FLAIR MRI.
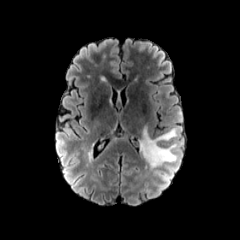
T1-weighted MRI.
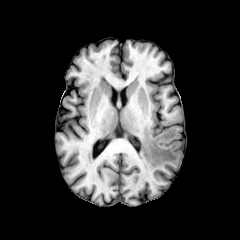
Post-contrast T1-weighted MR.
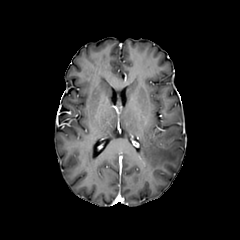
T2-weighted magnetic resonance.
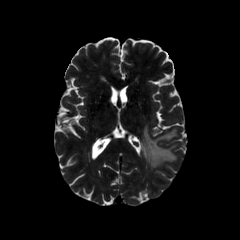
<segmentation>
  <peritumoral_edema>140 127 178 167</peritumoral_edema>
</segmentation>